FLAIR MR.
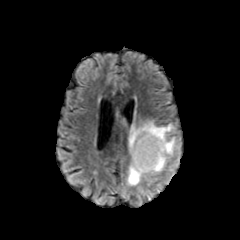
T1-weighted MR.
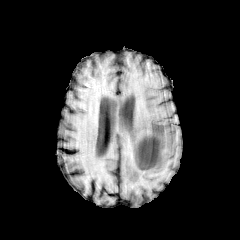
Post-contrast T1-weighted magnetic resonance.
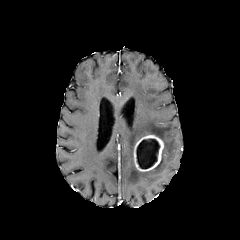
T2-weighted MR.
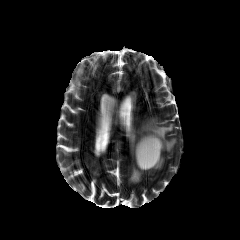
Axial view. Head.
The enhancing tumor is bounded by [133, 134, 164, 171]. The necrotic tumor core lies within [136, 139, 159, 168]. The peritumoral edema is located at [127, 120, 175, 185].